FLAIR MR image.
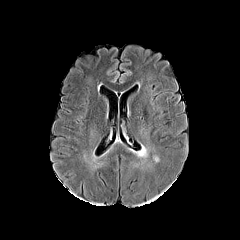
T1-weighted MRI.
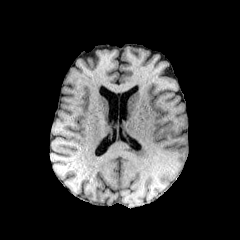
Post-contrast T1-weighted MR.
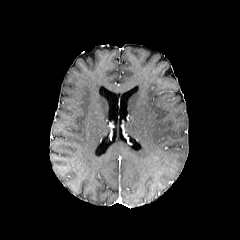
T2-weighted magnetic resonance.
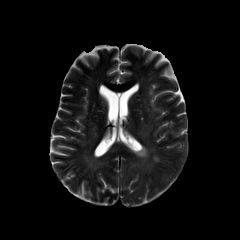
Brain
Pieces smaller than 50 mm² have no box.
peritumoral edema: 134, 145, 148, 160